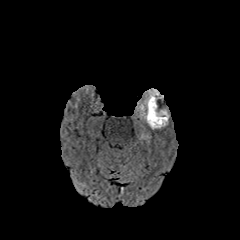
FLAIR magnetic resonance.
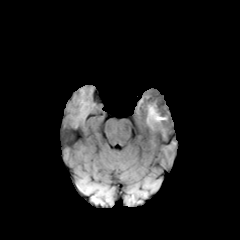
T1-weighted MRI.
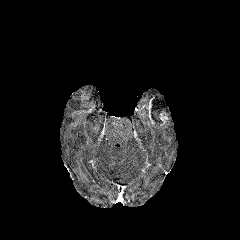
Post-contrast T1-weighted magnetic resonance.
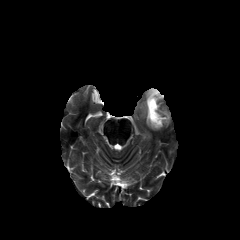
Same slice, T2-weighted MR.
Brain
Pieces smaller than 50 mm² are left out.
enhancing tumor: l=159, t=111, r=168, b=126; l=138, t=96, r=154, b=124 | necrotic tumor core: l=151, t=95, r=164, b=125 | peritumoral edema: l=161, t=95, r=169, b=118; l=136, t=88, r=168, b=129